240x240, Axial plane, Slice index 119
FLAIR MRI.
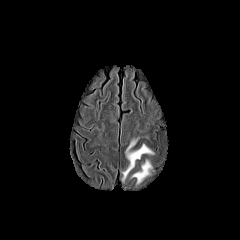
T1-weighted magnetic resonance.
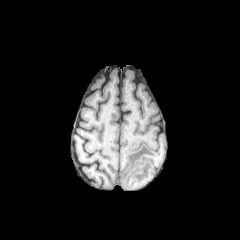
Post-contrast T1-weighted MR.
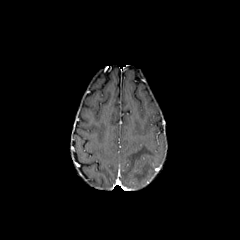
T2-weighted MRI.
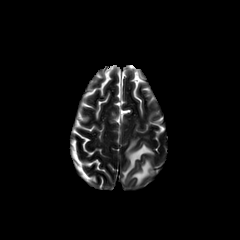
peritumoral edema = (132,160,151,184), (122,140,153,180)